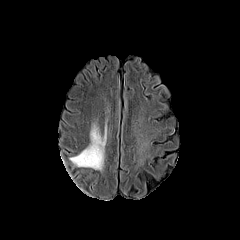
FLAIR MR image.
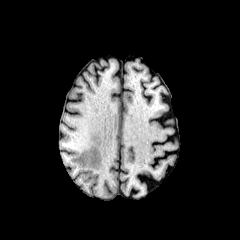
T1-weighted magnetic resonance of the same slice.
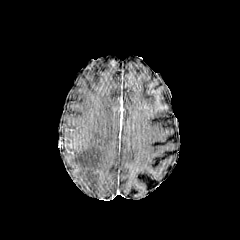
Same slice, post-contrast T1-weighted MR image.
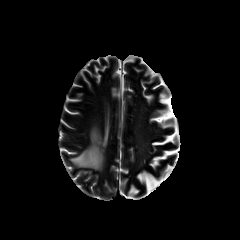
T2-weighted MR.
Brain; Axial plane
peritumoral edema — [x1=70, y1=126, x2=106, y2=169]